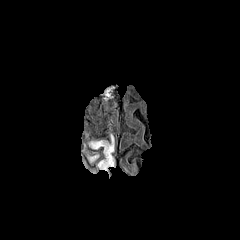
FLAIR MRI.
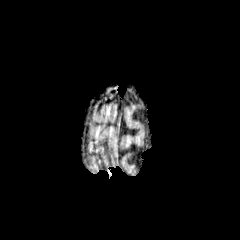
Same slice, T1-weighted MR image.
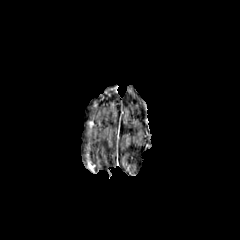
Post-contrast T1-weighted MR image.
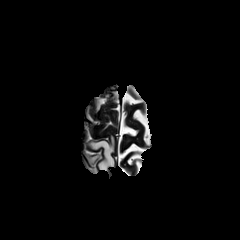
T2-weighted MR.
Head.
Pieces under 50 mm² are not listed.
<segmentation>
  <peritumoral_edema>(x1=88, y1=154, x2=98, y2=161), (x1=89, y1=134, x2=115, y2=170)</peritumoral_edema>
</segmentation>